Image covers 240 mm x 240 mm. Head. Axial plane. Slice 58 of 155. 240x240.
FLAIR MR.
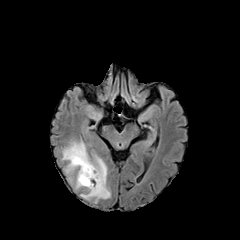
T1-weighted MR image.
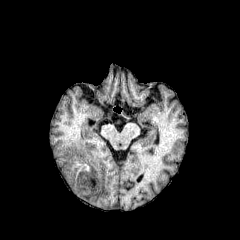
Post-contrast T1-weighted MR image.
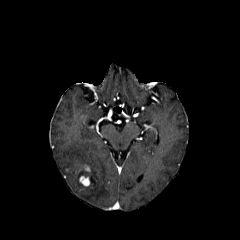
T2-weighted magnetic resonance.
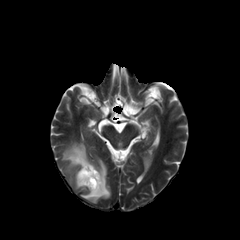
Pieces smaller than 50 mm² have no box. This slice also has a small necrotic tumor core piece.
Segmented structures:
• peritumoral edema: bbox(62, 140, 110, 203)
• enhancing tumor: bbox(79, 175, 90, 186)